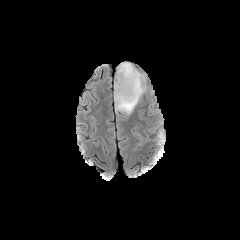
FLAIR MR image.
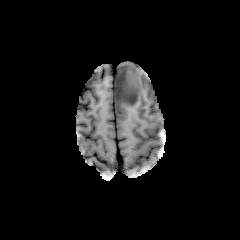
Same slice, T1-weighted MRI.
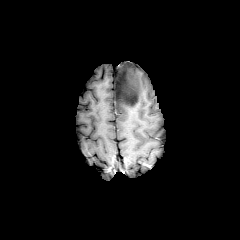
Post-contrast T1-weighted MR.
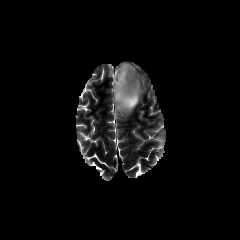
T2-weighted MRI.
Axial view. 240x240. Head.
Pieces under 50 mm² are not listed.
The largest peritumoral edema region appears at l=115, t=62, r=145, b=120. The necrotic tumor core is at l=114, t=64, r=138, b=105.